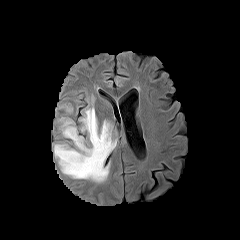
FLAIR MR.
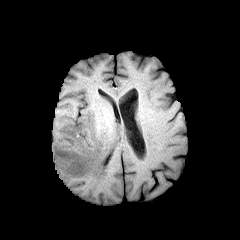
T1-weighted MR image of the same slice.
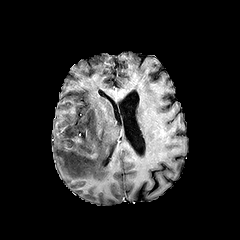
Post-contrast T1-weighted MR.
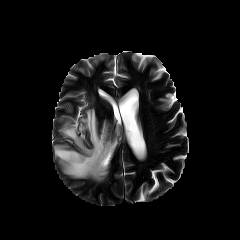
T2-weighted MR image.
Image size 240x240, Brain, Axial slice
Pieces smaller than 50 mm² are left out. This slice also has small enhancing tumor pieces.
peritumoral_edema:
  - bbox=[54, 107, 116, 182]